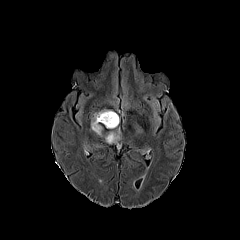
FLAIR magnetic resonance.
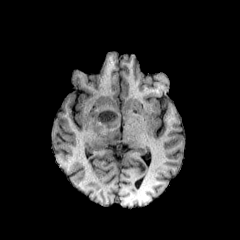
T1-weighted magnetic resonance.
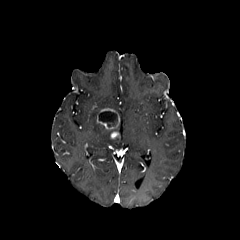
Same slice, post-contrast T1-weighted MR image.
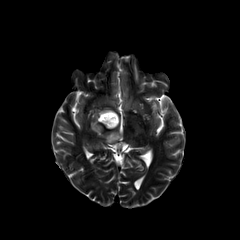
T2-weighted MR of the same slice.
Image size 240x240; Brain; Axial plane
{"peritumoral_edema": ["(x1=105, y1=132, x2=117, y2=143)", "(x1=91, y1=112, x2=102, y2=136)"], "necrotic_tumor_core": ["(x1=99, y1=111, x2=117, y2=127)"], "enhancing_tumor": ["(x1=96, y1=108, x2=119, y2=129)", "(x1=110, y1=131, x2=119, y2=139)"]}